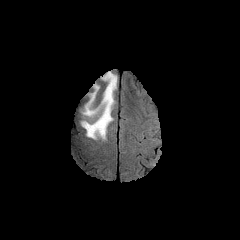
FLAIR MR image.
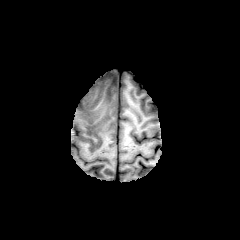
Same slice, T1-weighted MR.
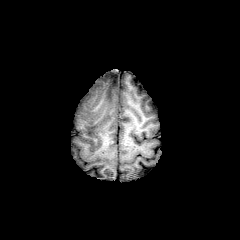
Post-contrast T1-weighted MR of the same slice.
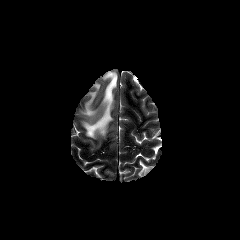
T2-weighted magnetic resonance.
Axial plane.
Annotated regions:
- peritumoral edema: [x1=82, y1=71, x2=117, y2=138], [x1=83, y1=84, x2=99, y2=117]